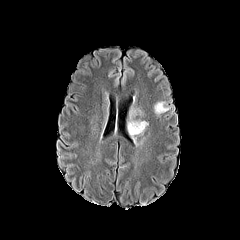
FLAIR MR.
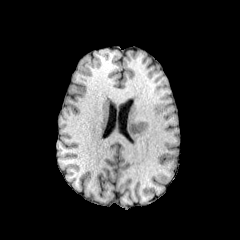
T1-weighted magnetic resonance.
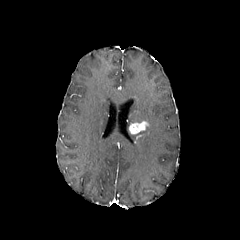
Post-contrast T1-weighted magnetic resonance.
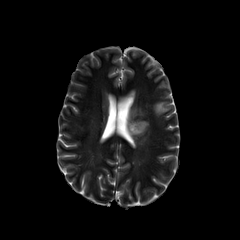
T2-weighted MRI.
240x240
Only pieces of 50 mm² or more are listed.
• peritumoral edema: (128,109,141,127), (154,102,169,114)
• enhancing tumor: (128,121,148,134)